FLAIR MRI.
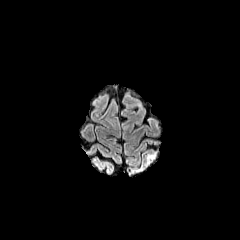
T1-weighted MR.
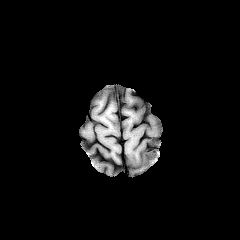
Post-contrast T1-weighted MRI.
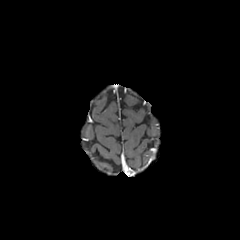
T2-weighted MR.
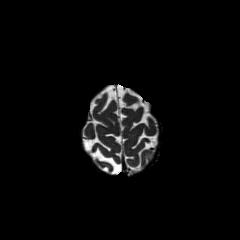
Axial slice
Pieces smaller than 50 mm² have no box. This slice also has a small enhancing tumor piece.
{"peritumoral_edema": ["(144,153,155,166)"]}